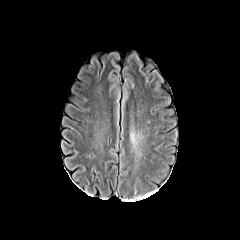
FLAIR MRI.
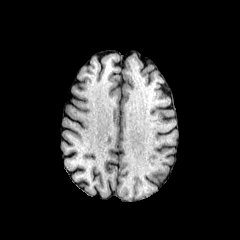
T1-weighted MR image.
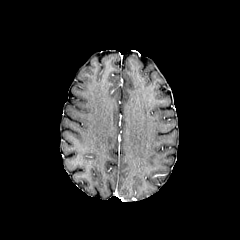
Post-contrast T1-weighted magnetic resonance.
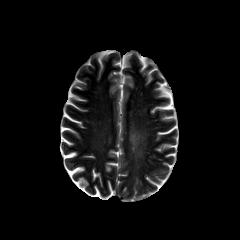
T2-weighted magnetic resonance of the same slice.
240x240 px
- peritumoral edema: bbox=[131, 133, 137, 146]